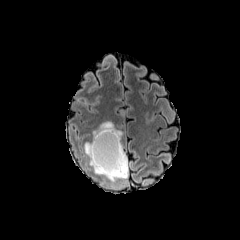
FLAIR MRI.
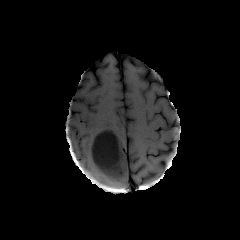
T1-weighted MR image.
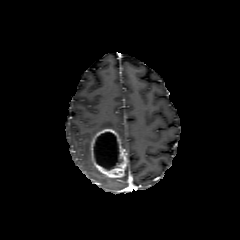
Post-contrast T1-weighted magnetic resonance.
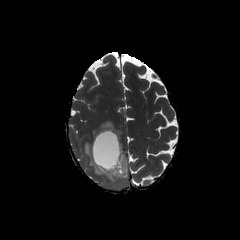
T2-weighted MRI.
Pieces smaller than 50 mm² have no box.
peritumoral edema at rect(84, 141, 128, 181); rect(92, 121, 122, 140)
necrotic tumor core at rect(94, 132, 121, 170)
enhancing tumor at rect(90, 128, 127, 178)